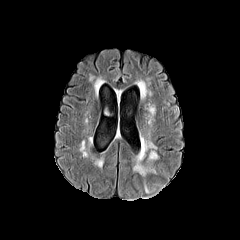
FLAIR MR.
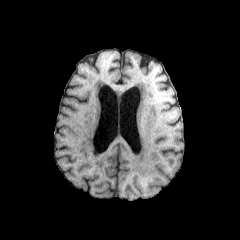
Same slice, T1-weighted magnetic resonance.
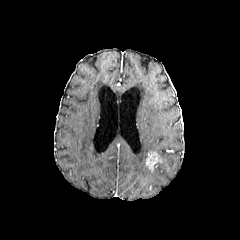
Same slice, post-contrast T1-weighted MR.
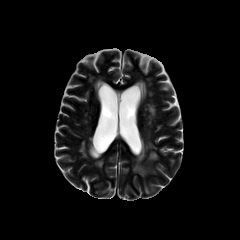
T2-weighted MR.
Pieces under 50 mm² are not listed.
enhancing tumor at bbox=[146, 152, 158, 170]
peritumoral edema at bbox=[144, 141, 156, 150]; bbox=[133, 161, 154, 175]